240x240 px. Axial slice. Slice 95 of 155. Brain. Image covers 240 mm x 240 mm.
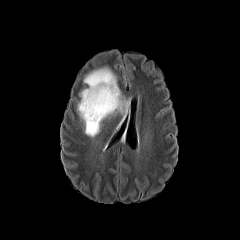
FLAIR MR.
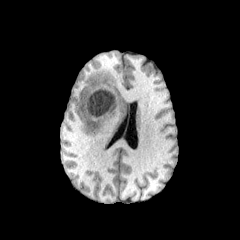
Same slice, T1-weighted MR.
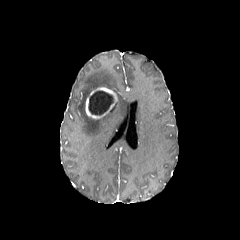
Same slice, post-contrast T1-weighted MR image.
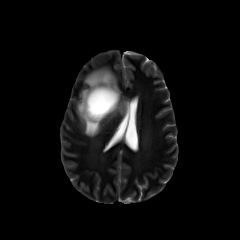
Same slice, T2-weighted magnetic resonance.
Segmented structures:
* peritumoral edema: box(75, 64, 130, 137)
* enhancing tumor: box(85, 87, 117, 119)
* necrotic tumor core: box(88, 90, 113, 115)